FLAIR MR.
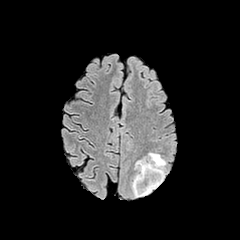
T1-weighted MR.
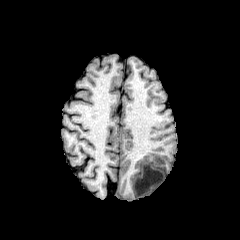
Post-contrast T1-weighted magnetic resonance.
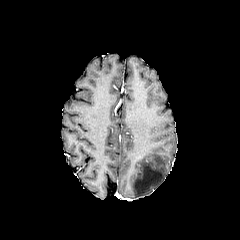
T2-weighted MR.
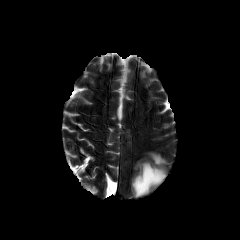
Brain
<segmentation>
  <peritumoral_edema>l=132, t=153, r=166, b=197</peritumoral_edema>
</segmentation>